Axial slice; 240x240; Head
FLAIR MR image.
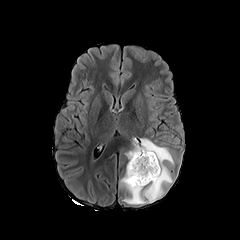
T1-weighted magnetic resonance.
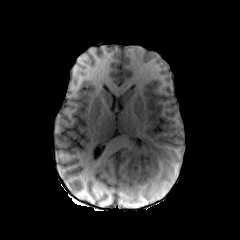
Post-contrast T1-weighted magnetic resonance.
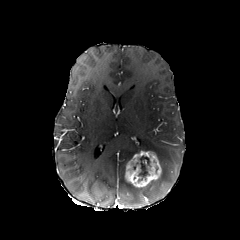
T2-weighted magnetic resonance.
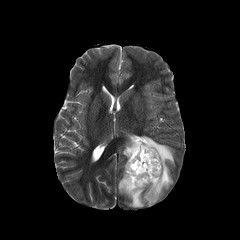
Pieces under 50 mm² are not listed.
enhancing tumor at rect(125, 151, 161, 187)
necrotic tumor core at rect(139, 156, 149, 177)
peritumoral edema at rect(119, 137, 173, 204)